Axial plane
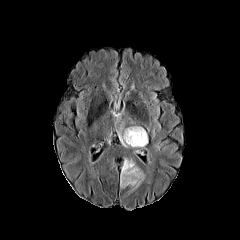
FLAIR MR image.
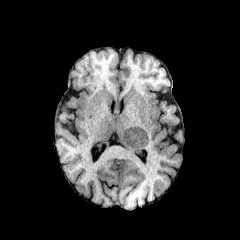
T1-weighted MRI.
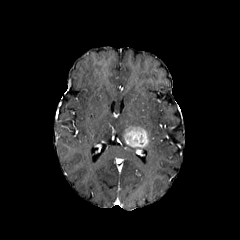
Post-contrast T1-weighted MR of the same slice.
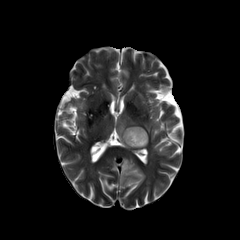
T2-weighted MR of the same slice.
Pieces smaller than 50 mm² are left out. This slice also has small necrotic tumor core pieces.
{
  "peritumoral_edema": [
    "box=[120, 158, 145, 192]",
    "box=[118, 128, 127, 146]"
  ],
  "enhancing_tumor": [
    "box=[123, 127, 148, 147]"
  ]
}